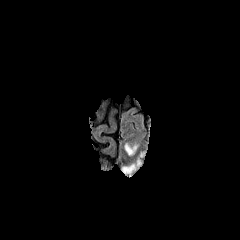
FLAIR MRI.
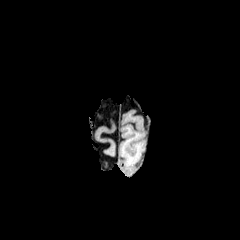
T1-weighted MRI.
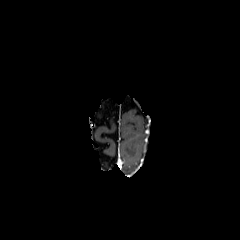
Post-contrast T1-weighted MR image.
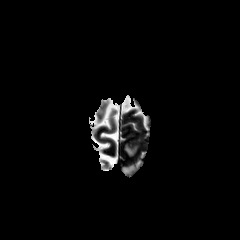
Same slice, T2-weighted MR.
Axial slice; Image size 240x240
{"peritumoral_edema": ["[122, 165, 134, 173]", "[125, 144, 136, 155]"]}